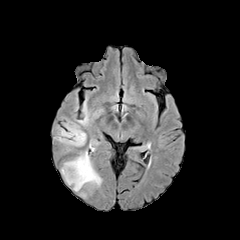
FLAIR MR.
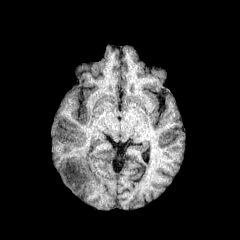
T1-weighted MR image.
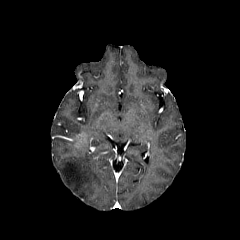
Post-contrast T1-weighted MR image.
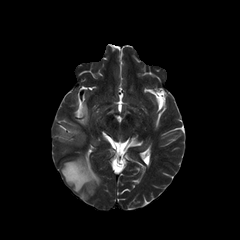
T2-weighted MR image.
Axial view | Head
enhancing tumor: [72, 131, 86, 147] | peritumoral edema: [58, 121, 81, 138], [78, 109, 89, 125], [56, 137, 75, 151], [61, 151, 101, 196]